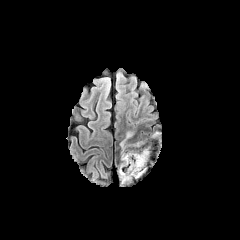
FLAIR MR image.
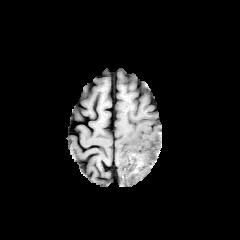
T1-weighted magnetic resonance of the same slice.
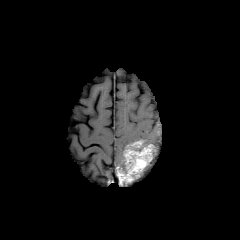
Same slice, post-contrast T1-weighted MRI.
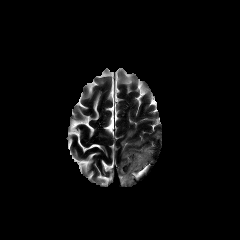
T2-weighted MR.
240x240
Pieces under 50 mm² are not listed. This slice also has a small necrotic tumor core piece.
{
  "peritumoral_edema": [
    "<bbox>120, 132, 132, 152</bbox>"
  ],
  "enhancing_tumor": [
    "<bbox>118, 140, 155, 184</bbox>"
  ]
}